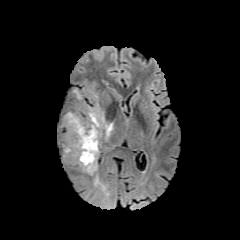
FLAIR MR.
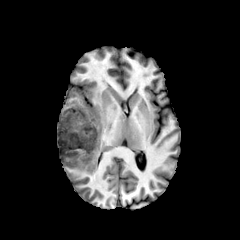
T1-weighted magnetic resonance of the same slice.
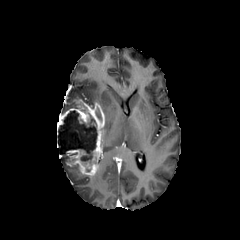
Post-contrast T1-weighted MRI.
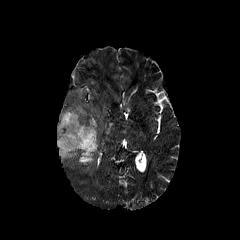
T2-weighted magnetic resonance.
Head
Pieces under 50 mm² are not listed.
peritumoral edema — l=103, t=121, r=113, b=139
necrotic tumor core — l=57, t=110, r=97, b=163
enhancing tumor — l=57, t=99, r=104, b=175